FLAIR MRI.
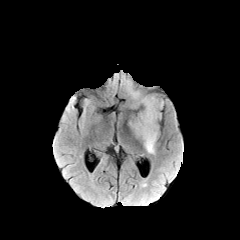
T1-weighted MR image.
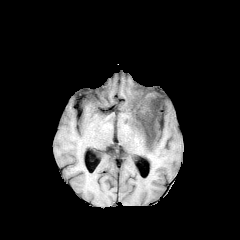
Post-contrast T1-weighted MR.
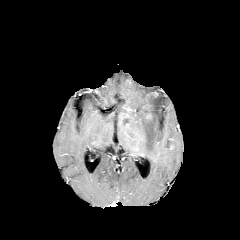
T2-weighted MR image.
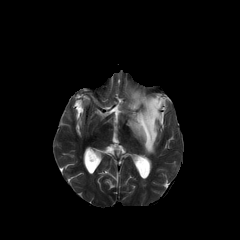
Image size 240x240. Brain.
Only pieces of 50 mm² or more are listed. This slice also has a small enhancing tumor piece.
peritumoral edema = l=128, t=85, r=163, b=153